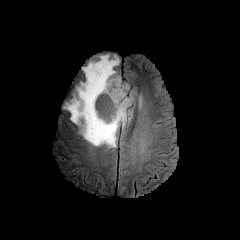
FLAIR magnetic resonance.
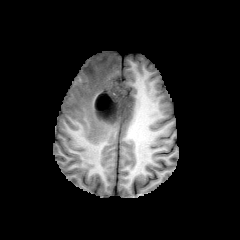
T1-weighted MRI of the same slice.
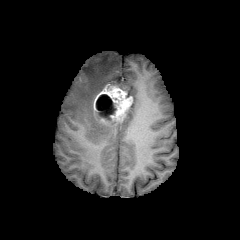
Post-contrast T1-weighted MR.
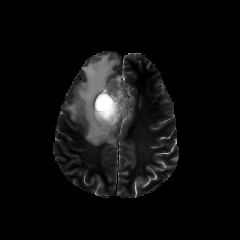
T2-weighted MRI.
Head.
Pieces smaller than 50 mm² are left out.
enhancing_tumor:
  - bbox(93, 84, 132, 124)
necrotic_tumor_core:
  - bbox(95, 94, 116, 120)
peritumoral_edema:
  - bbox(64, 54, 132, 147)